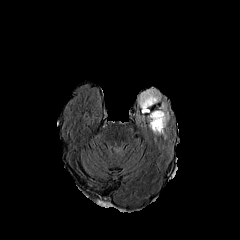
FLAIR MR image.
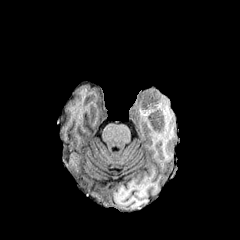
Same slice, T1-weighted MR.
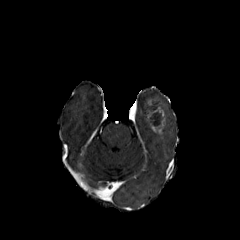
Post-contrast T1-weighted magnetic resonance of the same slice.
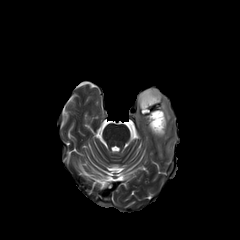
T2-weighted MR.
Head. 240x240. Axial view.
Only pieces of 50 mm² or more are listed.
necrotic tumor core at (x1=150, y1=112, x2=161, y2=126)
enhancing tumor at (x1=147, y1=107, x2=165, y2=134)
peritumoral edema at (x1=138, y1=89, x2=161, y2=113), (x1=158, y1=101, x2=169, y2=139)